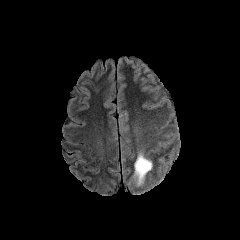
FLAIR MR.
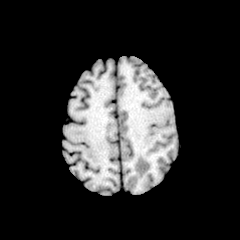
T1-weighted magnetic resonance of the same slice.
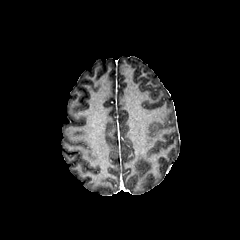
Post-contrast T1-weighted MR image of the same slice.
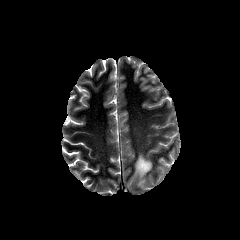
T2-weighted magnetic resonance.
240x240 px
The peritumoral edema lies within (134,154,152,184).